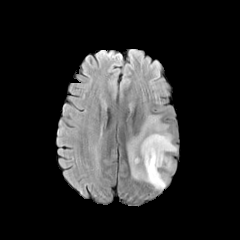
FLAIR MR image.
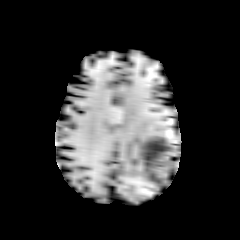
T1-weighted MRI.
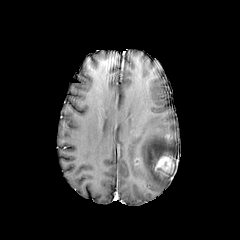
Post-contrast T1-weighted MR image.
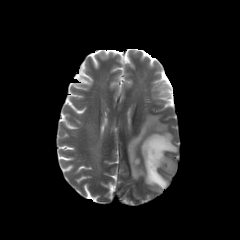
T2-weighted magnetic resonance.
Brain; Axial slice
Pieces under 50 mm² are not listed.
Annotated regions:
• enhancing tumor: {"x1": 155, "y1": 155, "x2": 173, "y2": 174}
• peritumoral edema: {"x1": 127, "y1": 115, "x2": 177, "y2": 189}